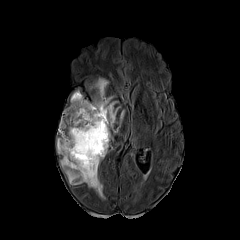
FLAIR MR image.
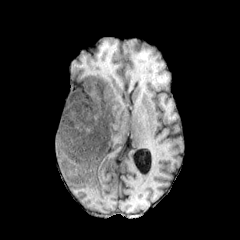
T1-weighted MR image of the same slice.
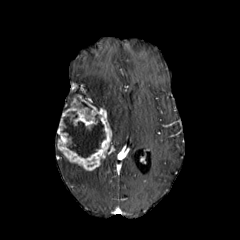
Post-contrast T1-weighted MR image of the same slice.
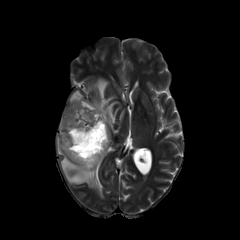
T2-weighted magnetic resonance.
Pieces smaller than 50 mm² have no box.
{"enhancing_tumor": ["(left=57, top=94, right=111, bottom=170)"], "peritumoral_edema": ["(left=57, top=148, right=104, bottom=198)", "(left=89, top=77, right=120, bottom=133)"], "necrotic_tumor_core": ["(left=62, top=114, right=105, bottom=157)"]}